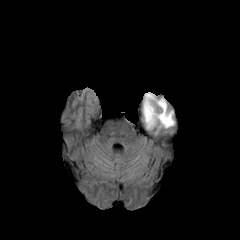
FLAIR MR image.
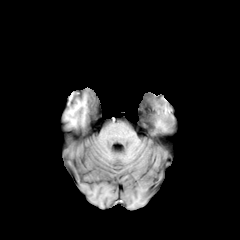
T1-weighted MRI.
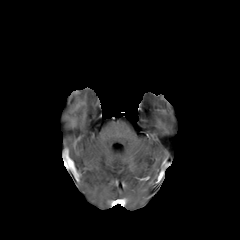
Post-contrast T1-weighted magnetic resonance.
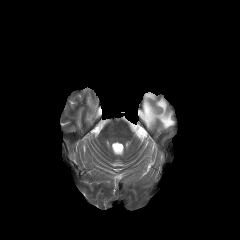
T2-weighted MR image of the same slice.
The peritumoral edema is at <box>143,92,174,128</box>.